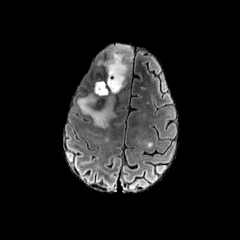
FLAIR MRI.
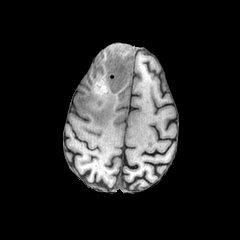
Same slice, T1-weighted MR.
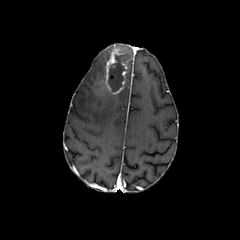
Post-contrast T1-weighted magnetic resonance.
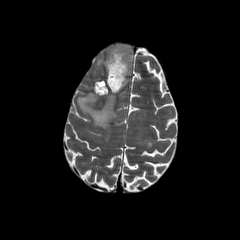
T2-weighted MR.
Axial slice
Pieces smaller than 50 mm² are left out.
The largest peritumoral edema region is bounded by bbox(77, 81, 115, 128). The largest enhancing tumor region lies within bbox(101, 45, 132, 94). The necrotic tumor core is at bbox(108, 53, 129, 91).